240x240 px
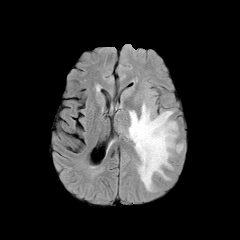
FLAIR MRI.
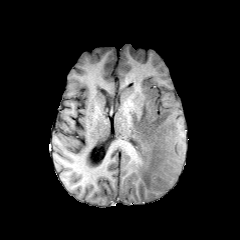
Same slice, T1-weighted MR image.
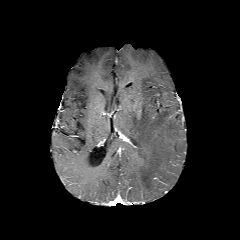
Post-contrast T1-weighted magnetic resonance of the same slice.
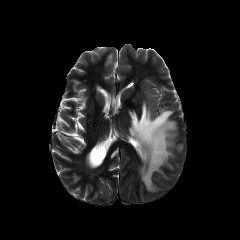
Same slice, T2-weighted magnetic resonance.
<segmentation>
  <peritumoral_edema>(x1=126, y1=102, x2=182, y2=191)</peritumoral_edema>
</segmentation>